FLAIR magnetic resonance.
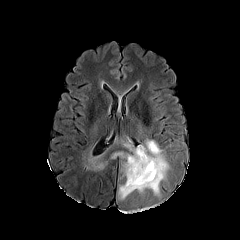
T1-weighted MRI.
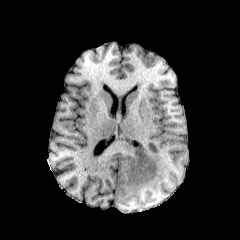
Post-contrast T1-weighted MR image.
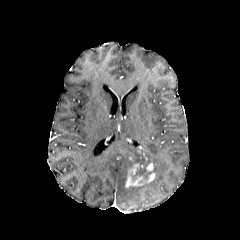
T2-weighted MR image.
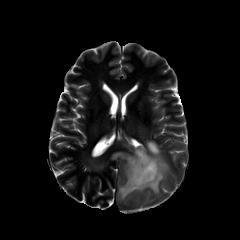
Head. Axial slice.
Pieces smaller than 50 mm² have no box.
The largest necrotic tumor core region lies within [x1=133, y1=152, x2=154, y2=179]. 2 peritumoral edema regions appear at [x1=118, y1=140, x2=169, y2=199], [x1=111, y1=144, x2=140, y2=180]. The 2 largest enhancing tumor regions are bounded by [x1=125, y1=163, x2=155, y2=187], [x1=146, y1=162, x2=154, y2=171].